Brain; Image width 240 mm, 1.00 mm slice spacing; Axial view
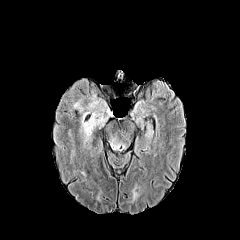
FLAIR magnetic resonance.
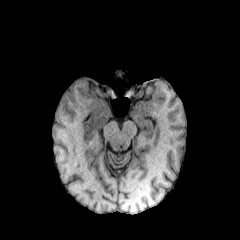
Same slice, T1-weighted MR.
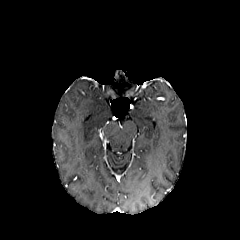
Post-contrast T1-weighted MR image.
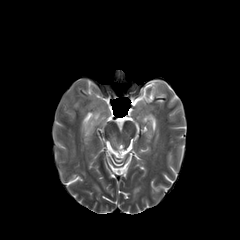
T2-weighted MR image.
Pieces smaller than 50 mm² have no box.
peritumoral_edema:
  - (x1=80, y1=100, x2=107, y2=144)
  - (x1=111, y1=138, x2=120, y2=151)